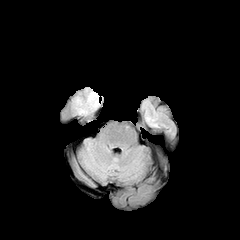
FLAIR MR image.
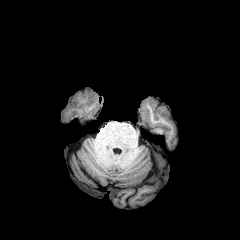
T1-weighted MR.
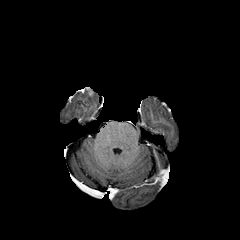
Post-contrast T1-weighted MR.
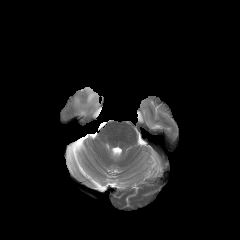
Same slice, T2-weighted MR image.
240x240. Brain.
peritumoral_edema:
  - <box>74,96,86,113</box>
  - <box>84,90,98,108</box>
enhancing_tumor:
  - <box>80,87,93,95</box>